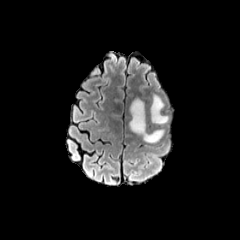
FLAIR MR.
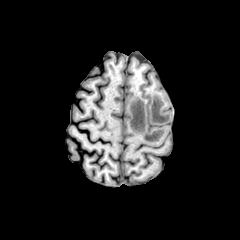
T1-weighted MRI of the same slice.
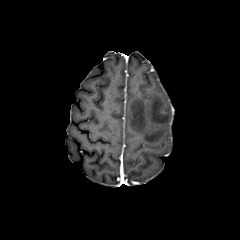
Post-contrast T1-weighted MR image of the same slice.
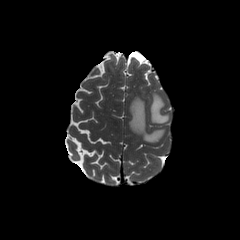
T2-weighted MRI.
240x240, Head
peritumoral edema: bounding box l=129, t=98, r=164, b=142; l=150, t=94, r=169, b=124